FLAIR MRI.
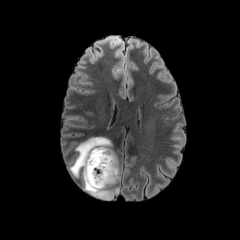
T1-weighted MR image.
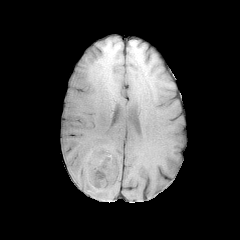
Post-contrast T1-weighted MR image.
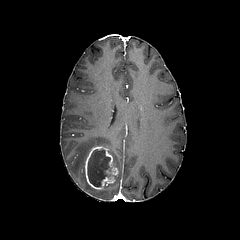
T2-weighted magnetic resonance.
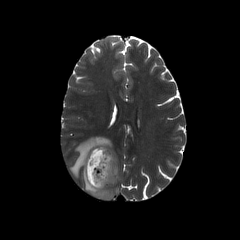
Head, 240x240
{"necrotic_tumor_core": ["left=87, top=149, right=110, bottom=186"], "peritumoral_edema": ["left=69, top=137, right=119, bottom=199"], "enhancing_tumor": ["left=84, top=146, right=118, bottom=189"]}